Axial view
FLAIR MR image.
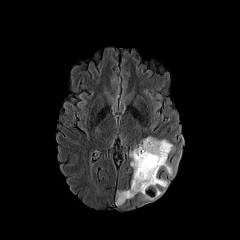
T1-weighted MRI.
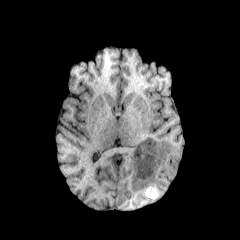
Post-contrast T1-weighted MR.
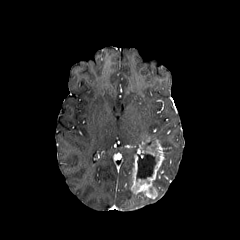
T2-weighted MR image.
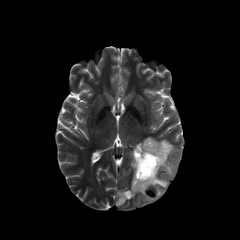
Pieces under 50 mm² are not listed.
peritumoral edema — 116,190,135,206; 130,149,136,167; 159,139,173,175; 140,193,154,200; 153,178,167,195
enhancing tumor — 130,137,164,193
necrotic tumor core — 136,154,156,178